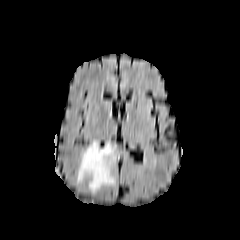
FLAIR MRI.
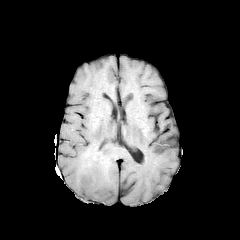
T1-weighted MR.
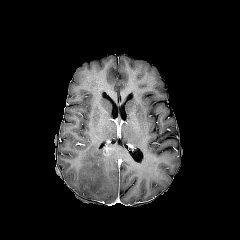
Post-contrast T1-weighted MRI.
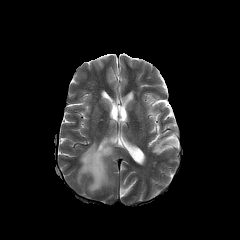
T2-weighted MR image.
240x240 px. Axial slice. Brain.
The peritumoral edema appears at 77:141:127:192. The enhancing tumor is located at 103:147:111:156.